FLAIR MR.
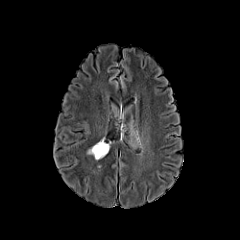
T1-weighted MR image.
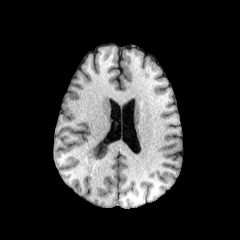
Post-contrast T1-weighted MR image.
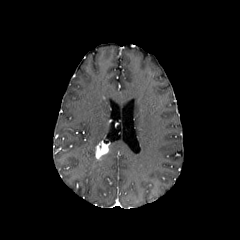
T2-weighted MR image.
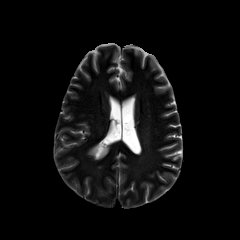
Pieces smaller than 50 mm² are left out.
{
  "enhancing_tumor": [
    "(x1=95, y1=141, x2=108, y2=159)"
  ],
  "peritumoral_edema": [
    "(x1=87, y1=143, x2=98, y2=160)"
  ]
}